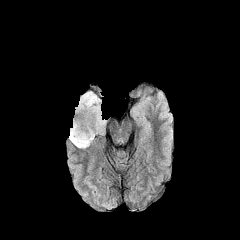
FLAIR magnetic resonance.
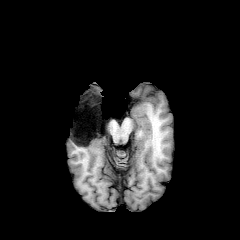
T1-weighted magnetic resonance of the same slice.
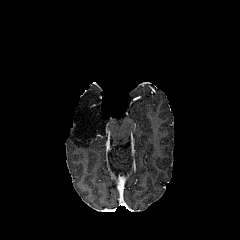
Post-contrast T1-weighted magnetic resonance.
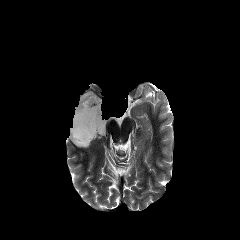
T2-weighted MRI.
240x240 | Head
{"peritumoral_edema": ["left=69, top=91, right=106, bottom=148"]}